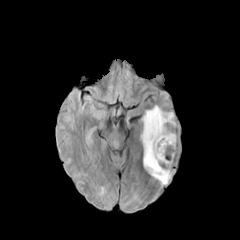
FLAIR MR.
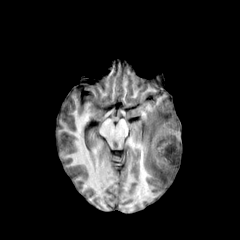
T1-weighted magnetic resonance.
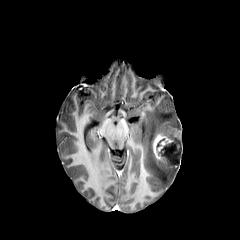
Post-contrast T1-weighted MR image.
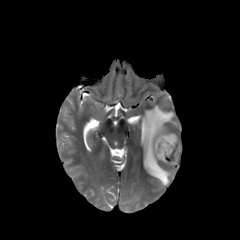
Same slice, T2-weighted MR.
240x240 | Head | Axial view
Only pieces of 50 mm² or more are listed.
The largest necrotic tumor core region is bounded by box(159, 140, 181, 165). The largest enhancing tumor region appears at box(152, 134, 177, 169). The peritumoral edema is bounded by box(141, 105, 179, 186).